FLAIR MRI.
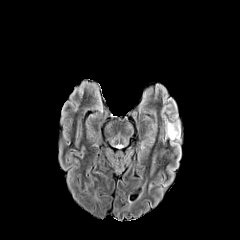
T1-weighted MRI.
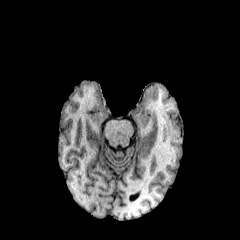
Post-contrast T1-weighted MR image.
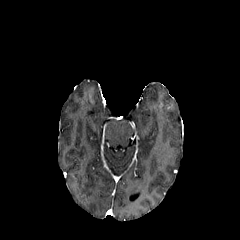
T2-weighted magnetic resonance.
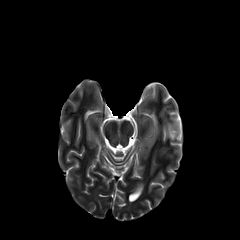
Head | Image size 240x240
The peritumoral edema is at box(166, 121, 180, 140).